FLAIR MRI.
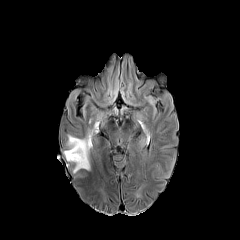
T1-weighted MRI.
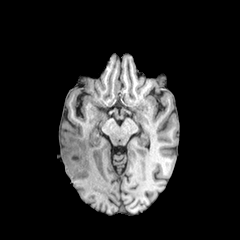
Post-contrast T1-weighted MRI.
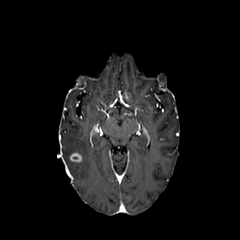
T2-weighted MR.
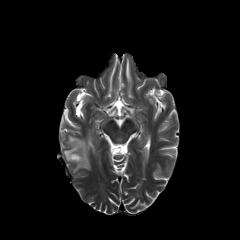
Axial plane, Brain, Image size 240x240
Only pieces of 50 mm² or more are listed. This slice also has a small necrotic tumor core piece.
<segmentation>
  <peritumoral_edema>box(64, 135, 91, 171)</peritumoral_edema>
  <enhancing_tumor>box(69, 152, 82, 162)</enhancing_tumor>
</segmentation>